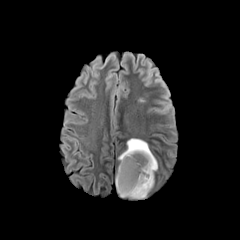
FLAIR MRI.
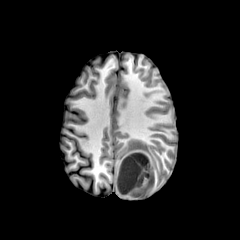
T1-weighted magnetic resonance.
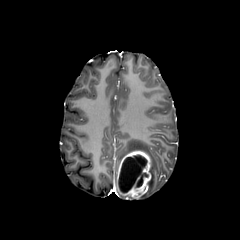
Same slice, post-contrast T1-weighted MR.
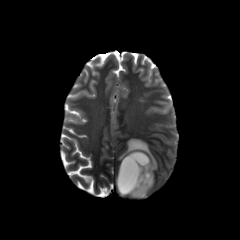
T2-weighted MR image.
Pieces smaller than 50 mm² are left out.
The largest peritumoral edema region is bounded by [x1=118, y1=138, x2=157, y2=198]. The largest necrotic tumor core region lies within [x1=118, y1=155, x2=148, y2=192]. The largest enhancing tumor region is bounded by [x1=116, y1=151, x2=151, y2=198].